Axial slice; Image size 240x240
FLAIR MR.
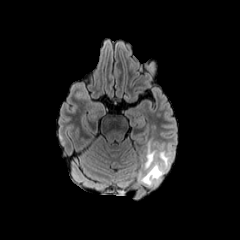
T1-weighted magnetic resonance.
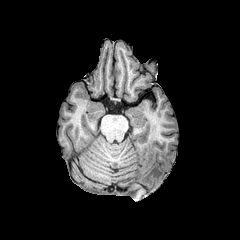
Post-contrast T1-weighted MRI.
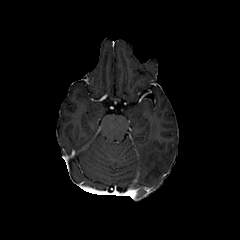
T2-weighted MRI.
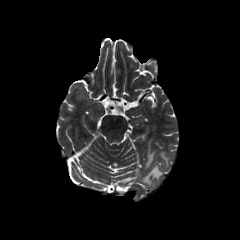
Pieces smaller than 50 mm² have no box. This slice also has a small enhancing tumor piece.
peritumoral edema at box=[137, 151, 171, 185]; box=[144, 141, 155, 169]